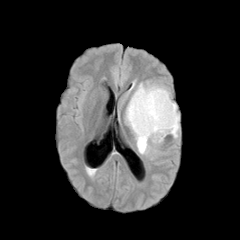
FLAIR MR image.
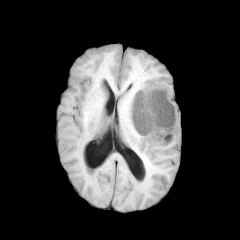
T1-weighted magnetic resonance.
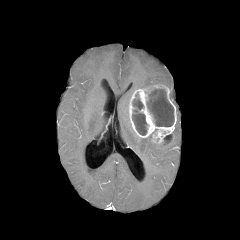
Post-contrast T1-weighted MR.
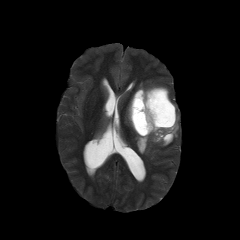
T2-weighted MRI.
Axial slice
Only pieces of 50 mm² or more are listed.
peritumoral_edema:
  - [136, 82, 162, 89]
  - [172, 112, 179, 137]
  - [125, 104, 151, 154]
necrotic_tumor_core:
  - [132, 97, 147, 135]
  - [163, 135, 173, 142]
  - [147, 89, 174, 126]
enhancing_tumor:
  - [129, 85, 176, 144]